Head
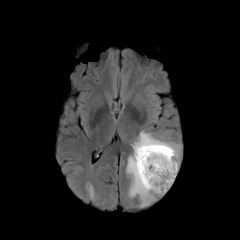
FLAIR magnetic resonance.
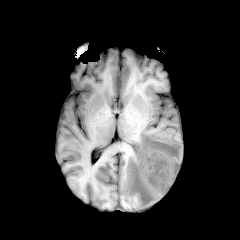
Same slice, T1-weighted MR.
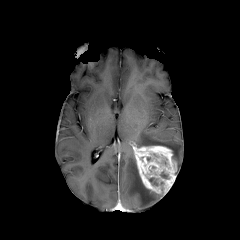
Post-contrast T1-weighted MR of the same slice.
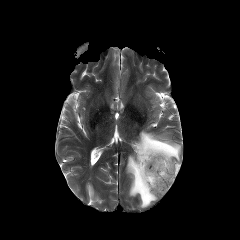
T2-weighted MRI.
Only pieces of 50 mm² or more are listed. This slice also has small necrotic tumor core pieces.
enhancing tumor — (x1=133, y1=145, x2=177, y2=194)
peritumoral edema — (x1=126, y1=150, x2=162, y2=209), (x1=133, y1=130, x2=181, y2=170)